FLAIR MR image.
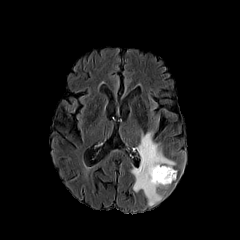
T1-weighted magnetic resonance.
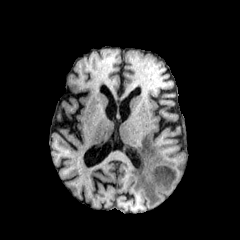
Post-contrast T1-weighted MR.
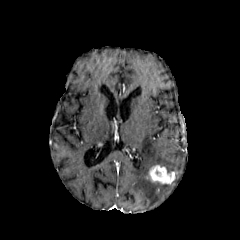
T2-weighted MR image.
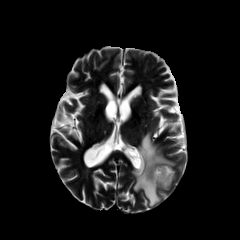
Axial plane
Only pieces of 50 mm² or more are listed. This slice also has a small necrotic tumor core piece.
<segmentation>
  <peritumoral_edema>[x1=131, y1=132, x2=176, y2=206]</peritumoral_edema>
  <enhancing_tumor>[x1=146, y1=165, x2=175, y2=184]</enhancing_tumor>
</segmentation>